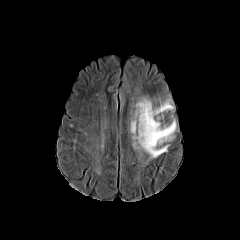
FLAIR MR.
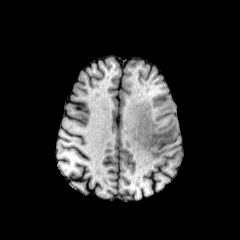
Same slice, T1-weighted magnetic resonance.
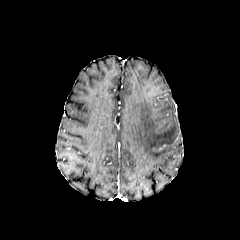
Post-contrast T1-weighted magnetic resonance.
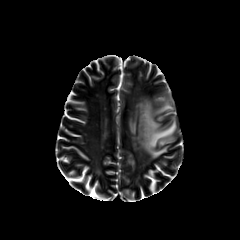
T2-weighted MRI.
240x240 px; Brain
<segmentation>
  <peritumoral_edema><box>131,97,176,158</box></peritumoral_edema>
</segmentation>